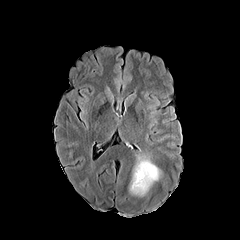
FLAIR MR image.
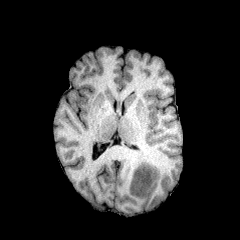
T1-weighted MRI.
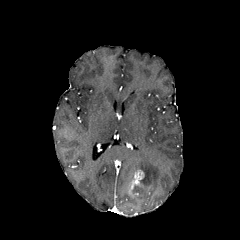
Post-contrast T1-weighted magnetic resonance.
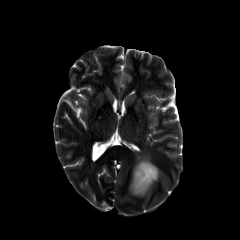
T2-weighted MR.
240x240, Axial slice
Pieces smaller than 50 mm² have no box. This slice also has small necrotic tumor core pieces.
The largest peritumoral edema region lies within <box>133,156,160,196</box>. The largest enhancing tumor region appears at <box>130,169,144,193</box>.